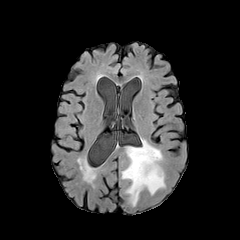
FLAIR MRI.
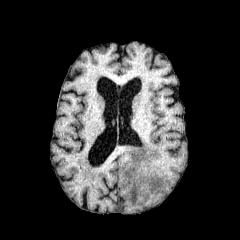
T1-weighted magnetic resonance.
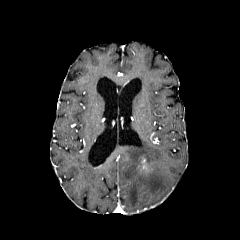
Post-contrast T1-weighted MRI.
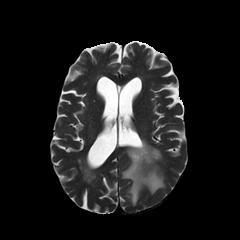
Same slice, T2-weighted MR image.
240x240 px. Axial slice. Brain.
peritumoral_edema:
  - box=[122, 139, 165, 206]
enhancing_tumor:
  - box=[141, 158, 147, 169]